FLAIR MR.
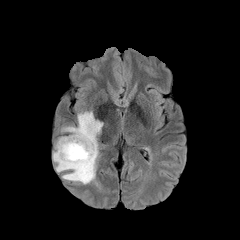
T1-weighted MRI.
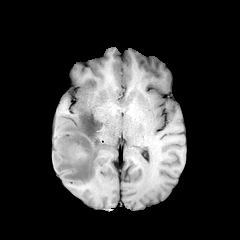
Post-contrast T1-weighted MR image.
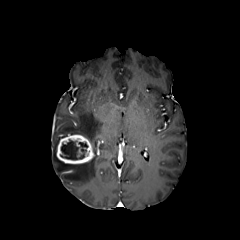
T2-weighted MR.
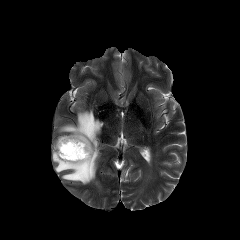
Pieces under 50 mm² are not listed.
The peritumoral edema is at [x1=53, y1=111, x2=103, y2=184]. The necrotic tumor core is located at [x1=60, y1=139, x2=87, y2=159]. The largest enhancing tumor region lies within [x1=56, y1=134, x2=94, y2=164].